FLAIR MR image.
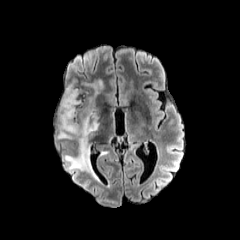
T1-weighted MR.
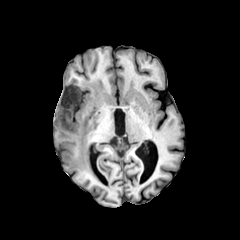
Post-contrast T1-weighted magnetic resonance.
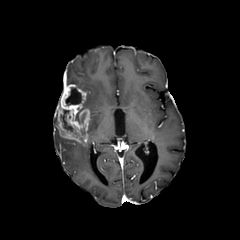
T2-weighted MR image.
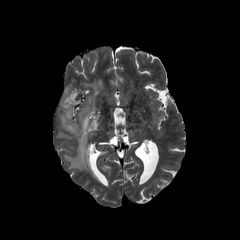
Head
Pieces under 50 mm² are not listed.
peritumoral edema: bbox(84, 80, 103, 95); bbox(75, 107, 99, 134); bbox(65, 142, 97, 179) | necrotic tumor core: bbox(65, 88, 81, 105); bbox(60, 110, 73, 131) | enhancing tumor: bbox(56, 84, 90, 145)